Brain. Slice 82 of 155.
FLAIR MR.
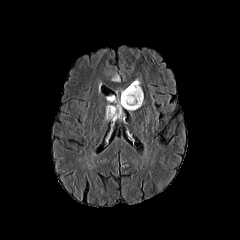
T1-weighted magnetic resonance.
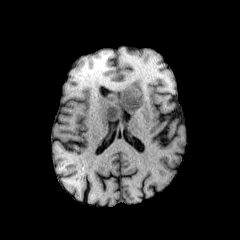
Post-contrast T1-weighted MR.
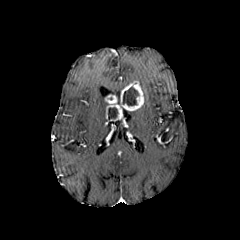
T2-weighted MRI.
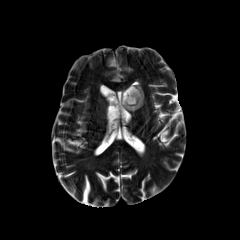
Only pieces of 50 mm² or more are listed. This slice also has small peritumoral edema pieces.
- necrotic tumor core: [122, 87, 138, 105], [108, 108, 117, 118]
- enhancing tumor: [105, 81, 143, 121]